FLAIR MRI.
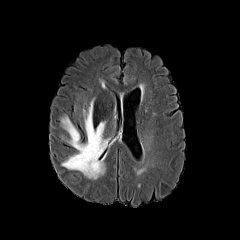
T1-weighted magnetic resonance.
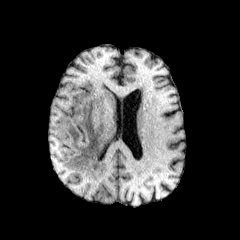
Post-contrast T1-weighted MR image.
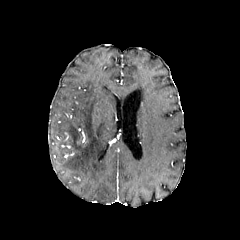
T2-weighted MR.
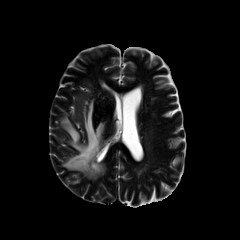
Axial plane
The peritumoral edema is bounded by region(61, 99, 107, 179).